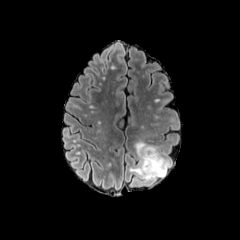
FLAIR MR.
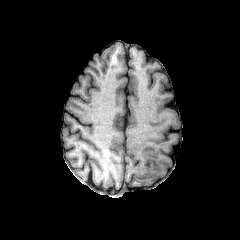
T1-weighted MR.
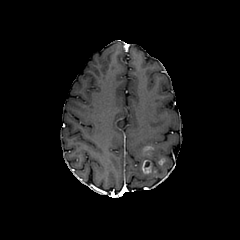
Same slice, post-contrast T1-weighted MRI.
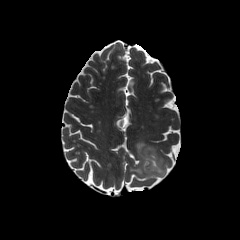
Same slice, T2-weighted MR image.
Brain.
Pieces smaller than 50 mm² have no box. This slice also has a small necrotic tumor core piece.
Findings:
* enhancing tumor: box(142, 160, 151, 173); box(143, 146, 153, 155)
* peritumoral edema: box(129, 141, 170, 181)